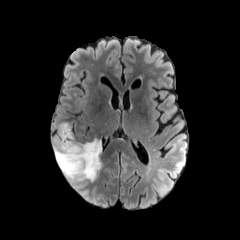
FLAIR MR image.
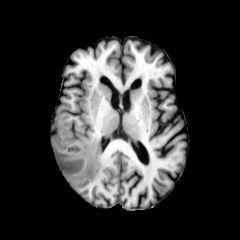
T1-weighted MRI.
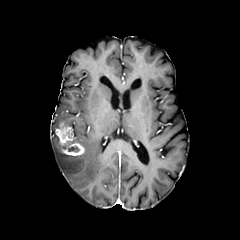
Same slice, post-contrast T1-weighted MR.
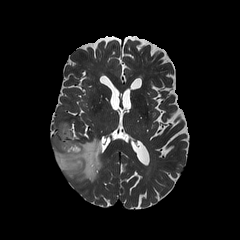
Same slice, T2-weighted MR image.
Axial slice; Image size 240x240
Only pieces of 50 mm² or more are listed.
* enhancing tumor: (left=55, top=122, right=84, bottom=156)
* necrotic tumor core: (left=68, top=146, right=79, bottom=151)
* peritumoral edema: (left=55, top=120, right=74, bottom=128), (left=53, top=134, right=102, bottom=181)